FLAIR MRI.
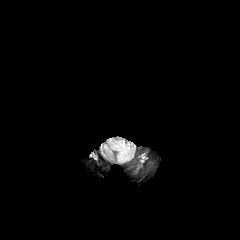
T1-weighted MR image.
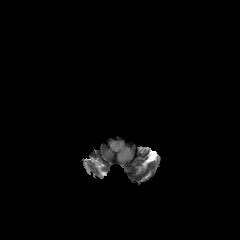
Post-contrast T1-weighted MR.
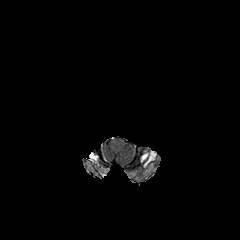
T2-weighted magnetic resonance.
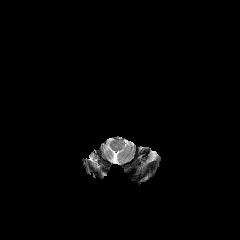
Head; 240x240 px
The peritumoral edema is bounded by rect(118, 144, 129, 160).